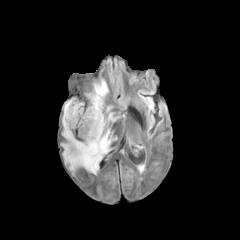
FLAIR magnetic resonance.
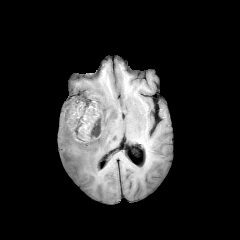
T1-weighted MRI of the same slice.
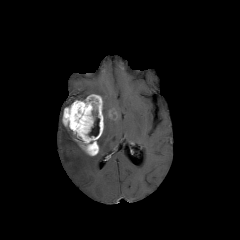
Post-contrast T1-weighted magnetic resonance.
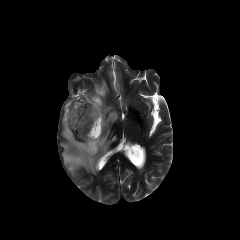
T2-weighted MR.
Axial view
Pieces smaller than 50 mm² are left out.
The largest necrotic tumor core region appears at [x1=88, y1=111, x2=99, y2=136]. The 2 largest peritumoral edema regions appear at [x1=61, y1=106, x2=115, y2=174], [x1=86, y1=79, x2=108, y2=109]. 2 enhancing tumor regions appear at [x1=109, y1=108, x2=116, y2=119], [x1=62, y1=94, x2=103, y2=155].